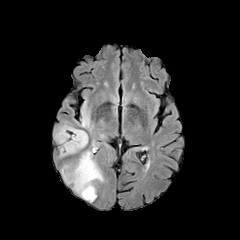
FLAIR MR image.
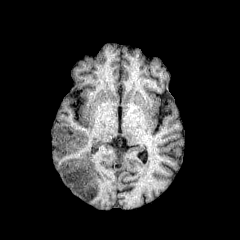
T1-weighted magnetic resonance of the same slice.
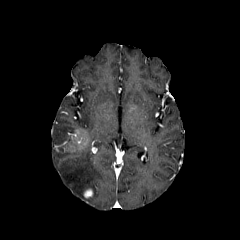
Post-contrast T1-weighted MR of the same slice.
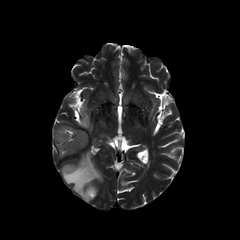
Same slice, T2-weighted MR.
Head; 240x240 px
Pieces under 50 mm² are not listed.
peritumoral edema: box(54, 123, 75, 144); box(60, 144, 70, 156); box(61, 150, 103, 201); box(81, 108, 90, 129)
enhancing tumor: box(83, 188, 93, 198); box(64, 129, 88, 153)